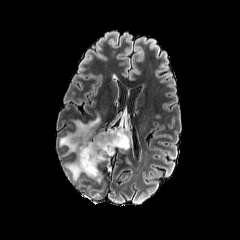
FLAIR MR image.
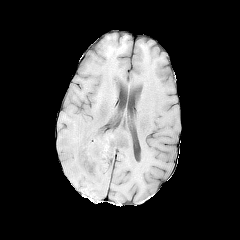
Same slice, T1-weighted MR.
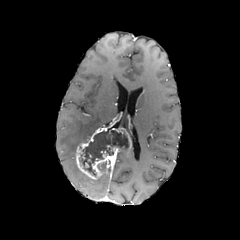
Same slice, post-contrast T1-weighted MR image.
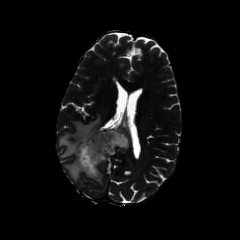
T2-weighted magnetic resonance.
Axial view.
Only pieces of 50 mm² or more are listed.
{"necrotic_tumor_core": ["(left=79, top=129, right=128, bottom=176)"], "peritumoral_edema": ["(left=59, top=113, right=100, bottom=156)", "(left=65, top=159, right=81, bottom=180)"], "enhancing_tumor": ["(left=75, top=128, right=125, bottom=180)", "(left=109, top=127, right=131, bottom=149)"]}